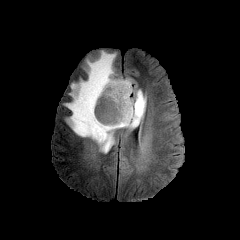
FLAIR MR image.
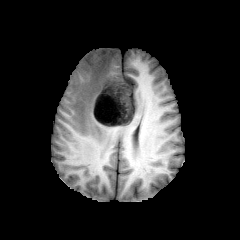
T1-weighted MR image.
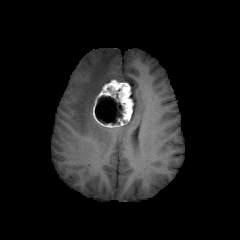
Post-contrast T1-weighted MRI.
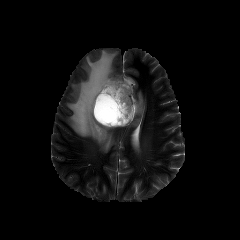
T2-weighted MR.
Brain
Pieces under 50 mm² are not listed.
The peritumoral edema is located at (64,50,146,153). The enhancing tumor appears at (92,79,133,127). The largest necrotic tumor core region appears at (95,96,122,124).